FLAIR MR.
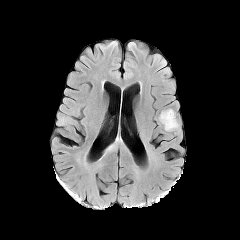
T1-weighted MR image.
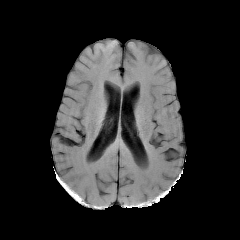
Post-contrast T1-weighted MR.
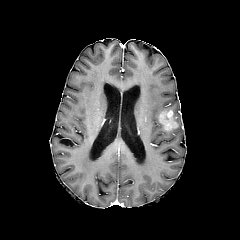
T2-weighted MR.
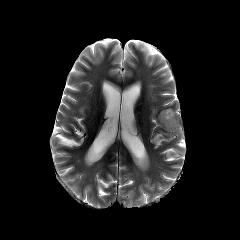
Image size 240x240, Axial plane, Brain
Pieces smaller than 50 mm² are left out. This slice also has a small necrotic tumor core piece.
peritumoral_edema:
  - {"x1": 159, "y1": 108, "x2": 177, "y2": 117}
  - {"x1": 166, "y1": 118, "x2": 181, "y2": 134}
enhancing_tumor:
  - {"x1": 159, "y1": 110, "x2": 178, "y2": 130}